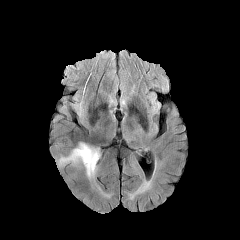
FLAIR MRI.
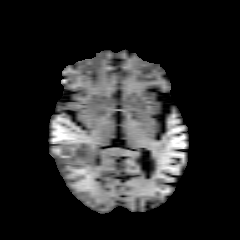
T1-weighted MR of the same slice.
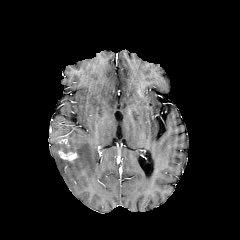
Post-contrast T1-weighted MR.
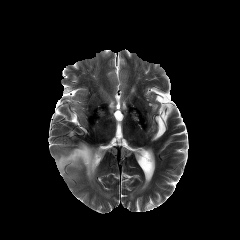
Same slice, T2-weighted MR.
Axial slice. Brain. Image size 240x240.
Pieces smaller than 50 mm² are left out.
peritumoral edema at x1=56 y1=142 x2=99 y2=179
enhancing tumor at x1=59 y1=150 x2=78 y2=161